Slice 82 of 155
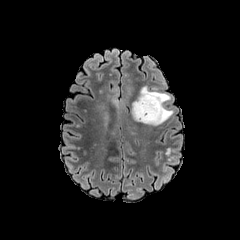
FLAIR MRI.
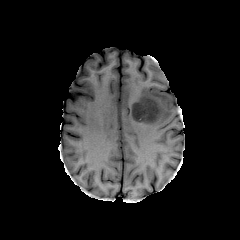
T1-weighted MRI.
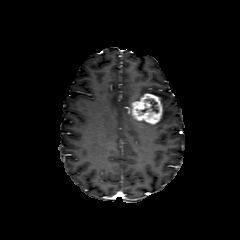
Post-contrast T1-weighted magnetic resonance.
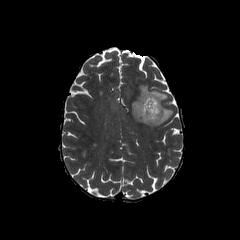
T2-weighted MR of the same slice.
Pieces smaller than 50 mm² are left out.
The enhancing tumor is bounded by box(131, 93, 163, 123). The largest necrotic tumor core region appears at box(146, 99, 158, 112). The largest peritumoral edema region lies within box(135, 86, 173, 125).